Head, 240x240, Axial view
FLAIR MRI.
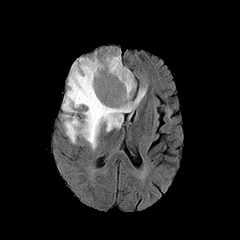
T1-weighted magnetic resonance.
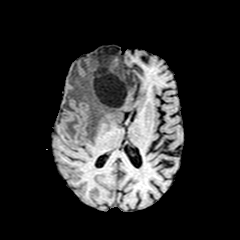
Post-contrast T1-weighted magnetic resonance.
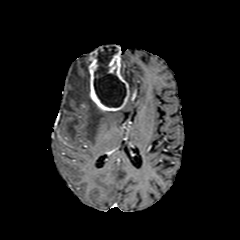
T2-weighted MR image.
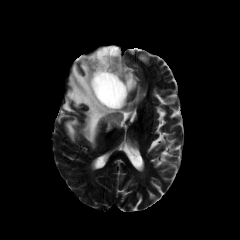
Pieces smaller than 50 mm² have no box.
The necrotic tumor core is located at (x1=94, y1=46, x2=126, y2=107). The largest enhancing tumor region is located at (x1=88, y1=46, x2=129, y2=111). The peritumoral edema appears at (x1=62, y1=56, x2=146, y2=149).